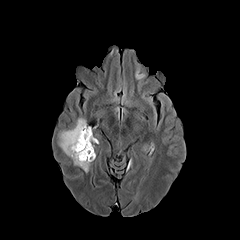
FLAIR MRI.
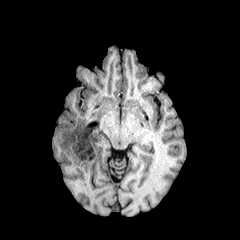
T1-weighted MR.
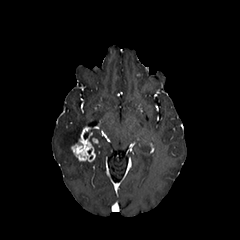
Post-contrast T1-weighted magnetic resonance.
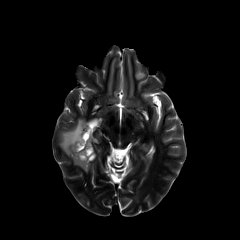
T2-weighted magnetic resonance.
240x240. Brain.
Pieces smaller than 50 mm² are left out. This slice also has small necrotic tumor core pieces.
enhancing tumor: (71,126,95,161) | peritumoral edema: (135,67,144,79), (58,118,90,172)